Axial slice, Image width 240 mm
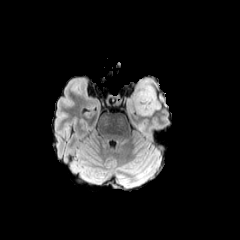
FLAIR magnetic resonance.
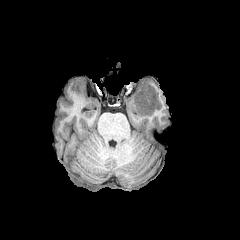
Same slice, T1-weighted MR image.
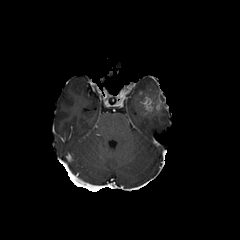
Post-contrast T1-weighted MRI of the same slice.
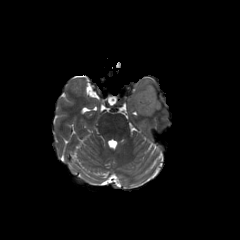
T2-weighted MR.
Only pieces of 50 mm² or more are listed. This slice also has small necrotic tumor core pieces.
{
  "enhancing_tumor": [
    "(138, 91, 163, 114)"
  ],
  "peritumoral_edema": [
    "(126, 77, 157, 116)"
  ]
}